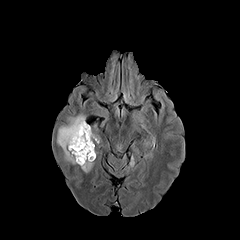
FLAIR MRI.
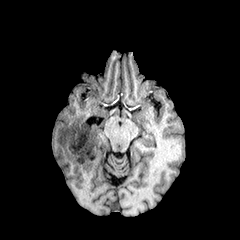
T1-weighted MR image.
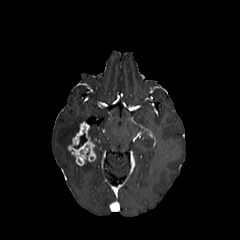
Same slice, post-contrast T1-weighted MR image.
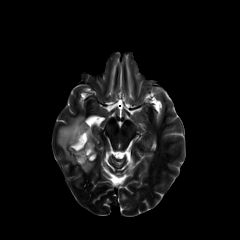
T2-weighted MR image.
Head; 240x240 px
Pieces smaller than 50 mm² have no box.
<segmentation>
  <enhancing_tumor>box=[68, 121, 95, 165]</enhancing_tumor>
  <peritumoral_edema>box=[88, 127, 99, 143]; box=[81, 160, 93, 172]; box=[57, 114, 85, 163]</peritumoral_edema>
  <necrotic_tumor_core>box=[73, 133, 87, 148]</necrotic_tumor_core>
</segmentation>